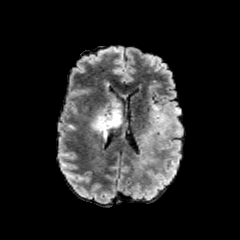
FLAIR MR.
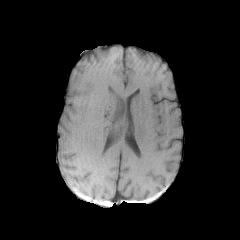
T1-weighted MRI.
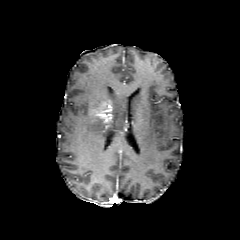
Same slice, post-contrast T1-weighted magnetic resonance.
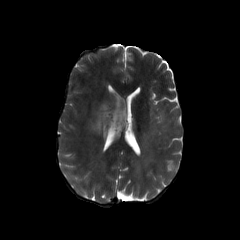
T2-weighted magnetic resonance.
Image size 240x240 | Axial view
{"enhancing_tumor": ["region(92, 100, 113, 123)"], "peritumoral_edema": ["region(136, 103, 183, 172)", "region(91, 101, 121, 138)"]}